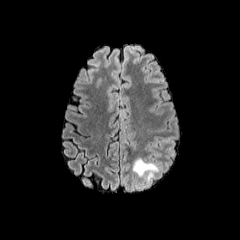
FLAIR MR image.
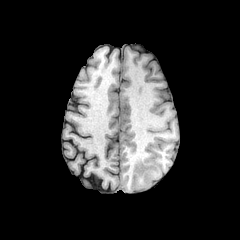
T1-weighted MR image of the same slice.
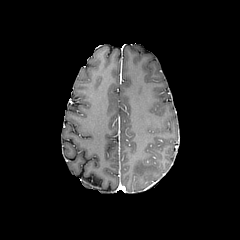
Post-contrast T1-weighted MR.
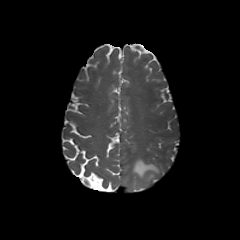
T2-weighted magnetic resonance.
240x240 | Brain
peritumoral edema: bounding box l=132, t=158, r=158, b=185